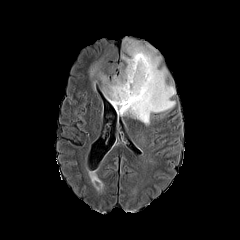
FLAIR MRI.
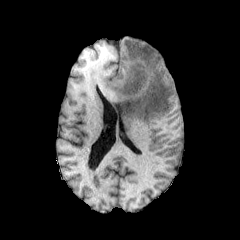
T1-weighted MR image.
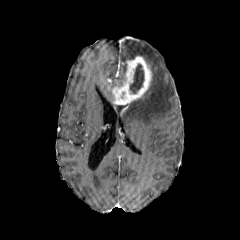
Same slice, post-contrast T1-weighted magnetic resonance.
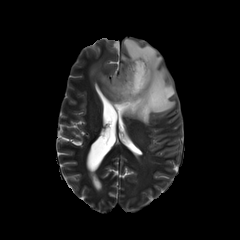
T2-weighted MR.
Head. Axial view.
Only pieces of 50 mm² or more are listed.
The enhancing tumor is at bbox=[112, 56, 152, 113]. The largest necrotic tumor core region is at bbox=[129, 64, 144, 93]. 2 peritumoral edema regions appear at bbox=[87, 58, 126, 101]; bbox=[120, 37, 176, 126].